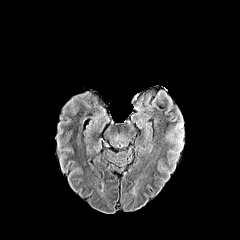
FLAIR MR.
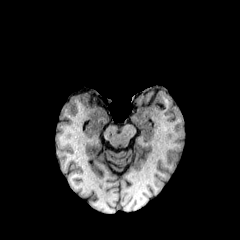
T1-weighted MRI.
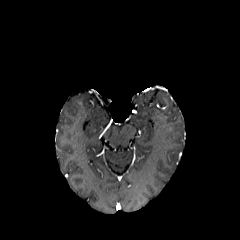
Same slice, post-contrast T1-weighted MR.
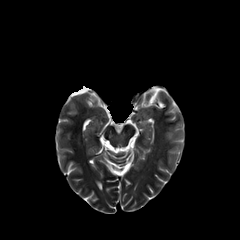
T2-weighted magnetic resonance.
Axial plane
The peritumoral edema appears at [x1=166, y1=121, x2=183, y2=152].